FLAIR MRI.
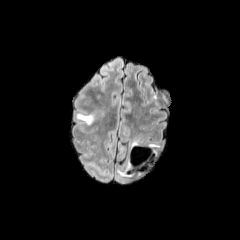
T1-weighted MRI.
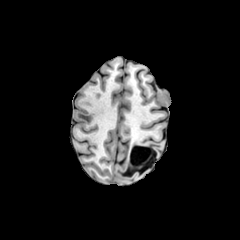
Post-contrast T1-weighted MR.
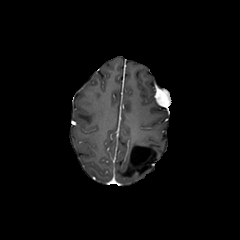
T2-weighted MR image.
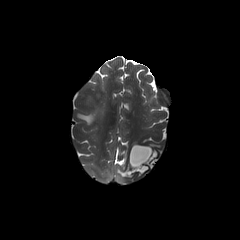
Brain, Axial plane
The peritumoral edema lies within rect(76, 113, 94, 124).